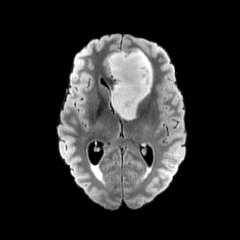
FLAIR magnetic resonance.
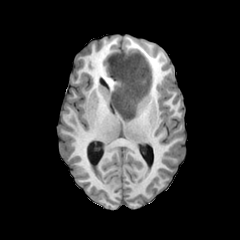
T1-weighted MRI.
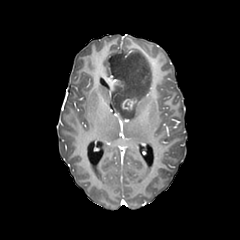
Post-contrast T1-weighted MR of the same slice.
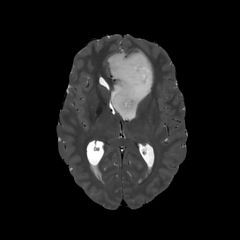
T2-weighted MRI of the same slice.
Axial slice
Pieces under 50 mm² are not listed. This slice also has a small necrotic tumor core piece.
<segmentation>
  <peritumoral_edema>region(107, 49, 152, 120)</peritumoral_edema>
  <enhancing_tumor>region(121, 98, 136, 109)</enhancing_tumor>
</segmentation>